FLAIR MR image.
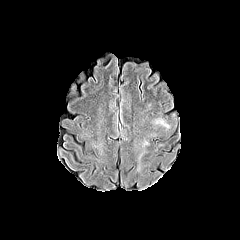
T1-weighted MR image.
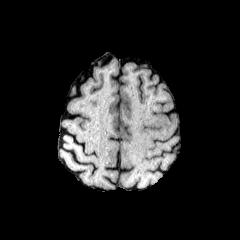
Post-contrast T1-weighted MR image.
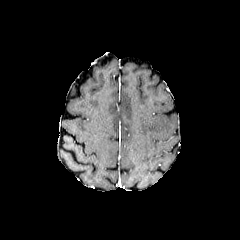
T2-weighted MR.
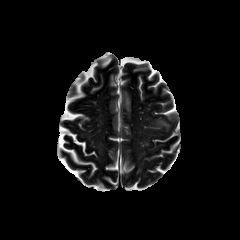
Axial plane | Head
2 peritumoral edema regions appear at 152,115,169,128; 141,136,149,149.